240x240 px | Head
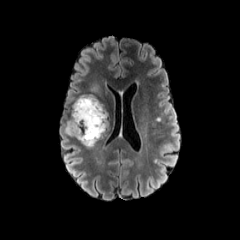
FLAIR magnetic resonance.
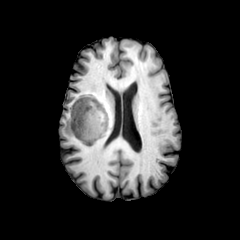
T1-weighted MRI.
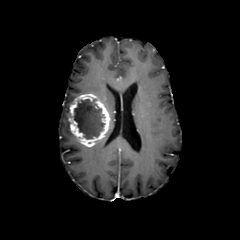
Post-contrast T1-weighted MRI.
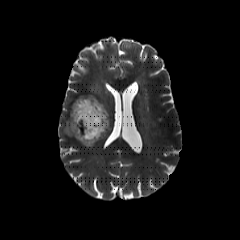
T2-weighted MR.
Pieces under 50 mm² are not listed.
necrotic_tumor_core:
  - <bbox>74, 99, 104, 138</bbox>
enhancing_tumor:
  - <bbox>69, 94, 109, 146</bbox>
peritumoral_edema:
  - <bbox>88, 83, 101, 95</bbox>
  - <bbox>64, 119, 74, 136</bbox>